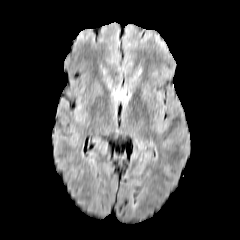
FLAIR magnetic resonance.
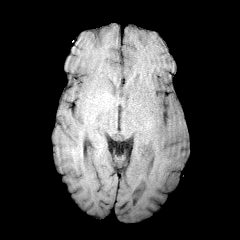
T1-weighted magnetic resonance.
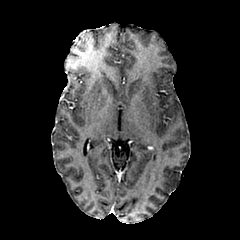
Post-contrast T1-weighted MRI.
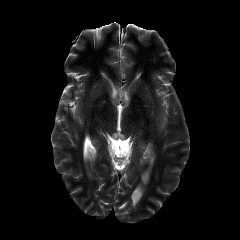
T2-weighted MRI.
Image size 240x240
<segmentation>
  <peritumoral_edema>box=[115, 88, 129, 103]</peritumoral_edema>
</segmentation>